FLAIR MR image.
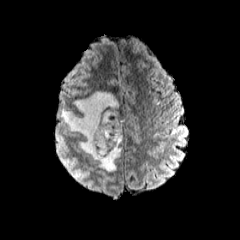
T1-weighted MR image.
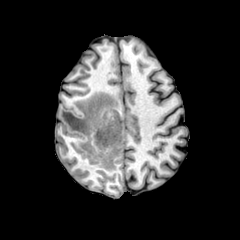
Post-contrast T1-weighted MR.
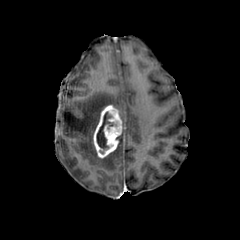
T2-weighted MR.
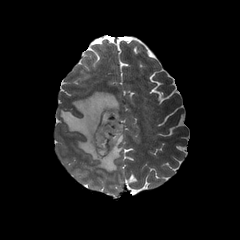
Head
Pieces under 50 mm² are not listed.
Findings:
- necrotic tumor core: x1=96 y1=111 x2=115 y2=153
- enhancing tumor: x1=92 y1=104 x2=122 y2=158
- peritumoral edema: x1=61 y1=91 x2=122 y2=171